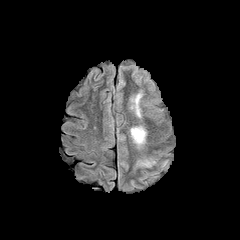
FLAIR MRI.
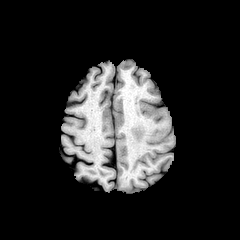
T1-weighted MR.
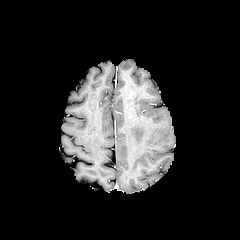
Post-contrast T1-weighted magnetic resonance of the same slice.
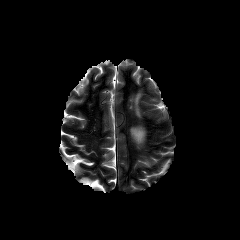
Same slice, T2-weighted MRI.
Axial slice | Head
2 peritumoral edema regions are bounded by left=131, top=128, right=144, bottom=143; left=135, top=95, right=139, bottom=116.